FLAIR MRI.
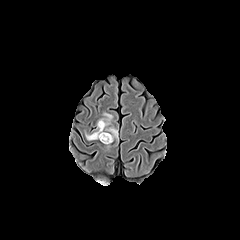
T1-weighted magnetic resonance.
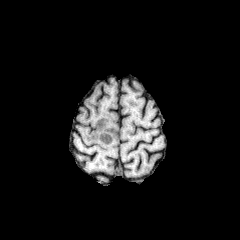
Post-contrast T1-weighted MR.
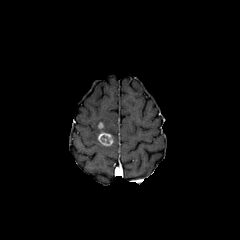
T2-weighted MR.
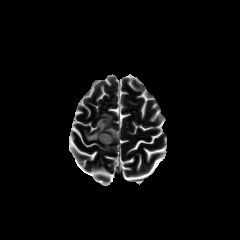
240x240
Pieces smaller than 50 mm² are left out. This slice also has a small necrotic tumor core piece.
{
  "peritumoral_edema": [
    "(left=85, top=113, right=118, bottom=140)"
  ],
  "enhancing_tumor": [
    "(left=98, top=131, right=113, bottom=146)"
  ]
}